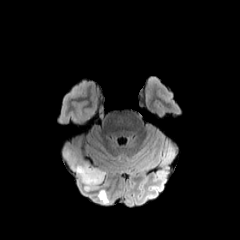
FLAIR MR image.
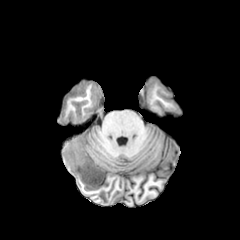
T1-weighted MRI of the same slice.
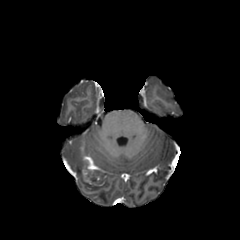
Post-contrast T1-weighted MR.
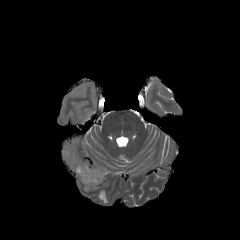
T2-weighted MR image of the same slice.
Axial slice
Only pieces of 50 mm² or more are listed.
necrotic tumor core: 90,170,100,181
enhancing tumor: 81,160,104,186
peritumoral edema: 63,148,105,190; 97,189,109,203